Image size 240x240. Slice index 81.
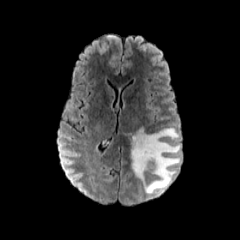
FLAIR MR image.
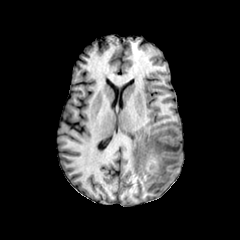
T1-weighted MR.
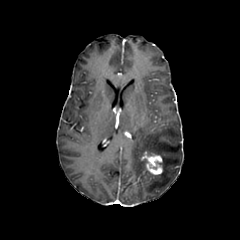
Post-contrast T1-weighted MR.
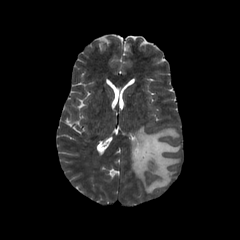
Same slice, T2-weighted MR image.
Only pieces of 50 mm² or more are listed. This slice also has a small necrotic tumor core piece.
The peritumoral edema is bounded by 125:127:180:195. The enhancing tumor lies within 139:151:163:175.